FLAIR magnetic resonance.
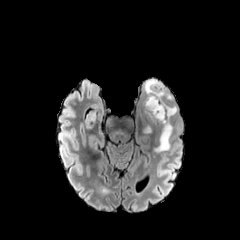
T1-weighted MR.
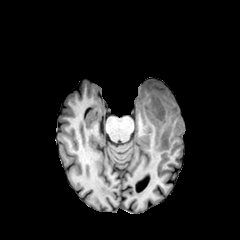
Post-contrast T1-weighted MR image.
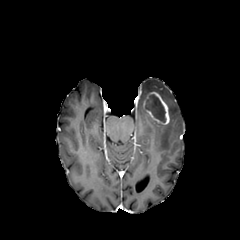
T2-weighted MR.
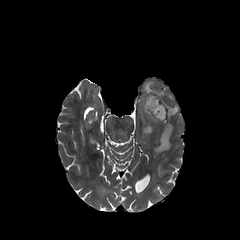
Head | Axial slice
necrotic tumor core: bounding box (145, 94, 165, 122)
enhancing tumor: bounding box (142, 91, 169, 124)
peritumoral edema: bounding box (142, 80, 178, 152), (142, 109, 157, 133)